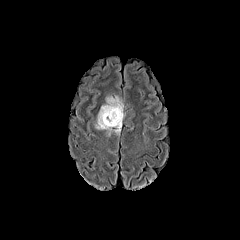
FLAIR MR image.
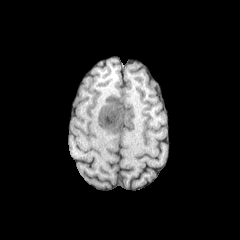
Same slice, T1-weighted magnetic resonance.
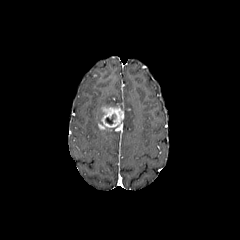
Post-contrast T1-weighted MRI of the same slice.
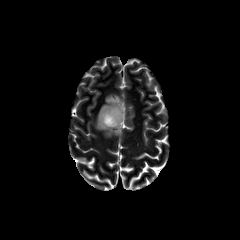
T2-weighted MRI.
Head
necrotic tumor core at {"x1": 105, "y1": 115, "x2": 114, "y2": 124}
enhancing tumor at {"x1": 98, "y1": 106, "x2": 124, "y2": 131}
peritumoral edema at {"x1": 101, "y1": 95, "x2": 123, "y2": 109}, {"x1": 106, "y1": 128, "x2": 120, "y2": 135}, {"x1": 95, "y1": 109, "x2": 102, "y2": 129}